Brain. Image covers 240 mm x 240 mm. Axial view.
FLAIR MRI.
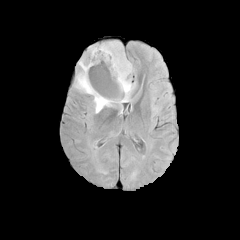
T1-weighted MR.
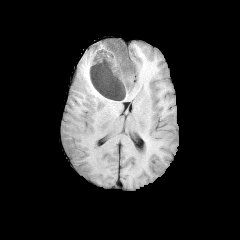
Post-contrast T1-weighted MRI.
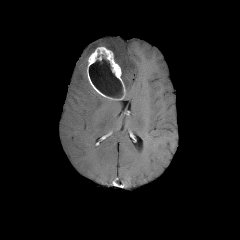
T2-weighted MR.
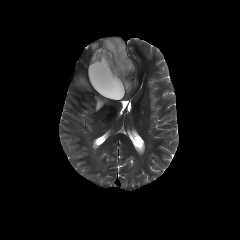
<segmentation>
  <necrotic_tumor_core>89 50 123 98</necrotic_tumor_core>
  <peritumoral_edema>90 40 135 101, 75 63 114 112</peritumoral_edema>
  <enhancing_tumor>87 47 125 100</enhancing_tumor>
</segmentation>